FLAIR MR.
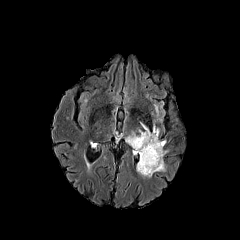
T1-weighted magnetic resonance.
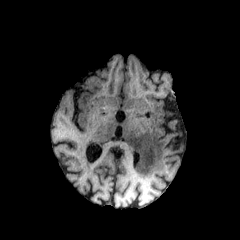
Post-contrast T1-weighted MR image.
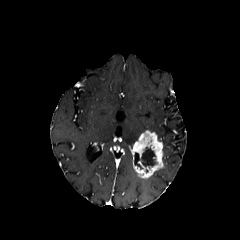
T2-weighted MR.
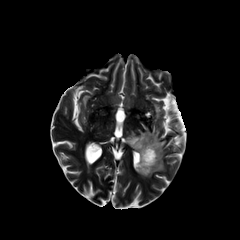
Axial view
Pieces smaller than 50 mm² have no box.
peritumoral edema: box(125, 131, 139, 147) | necrotic tumor core: box(141, 147, 155, 167) | enhancing tumor: box(131, 130, 163, 178)